FLAIR MRI.
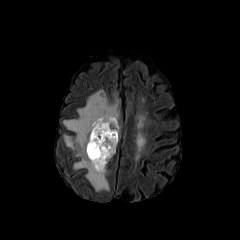
T1-weighted MR image.
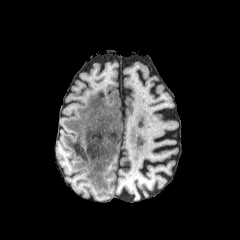
Post-contrast T1-weighted MRI.
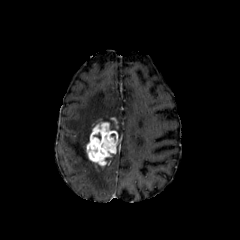
T2-weighted MR image.
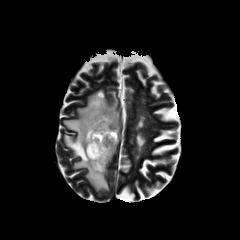
Axial view
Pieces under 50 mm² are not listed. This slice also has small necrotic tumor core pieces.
<segmentation>
  <enhancing_tumor>x1=109 y1=117 x2=118 y2=128, x1=86 y1=118 x2=118 y2=170</enhancing_tumor>
  <peritumoral_edema>x1=63 y1=89 x2=119 y2=191</peritumoral_edema>
</segmentation>